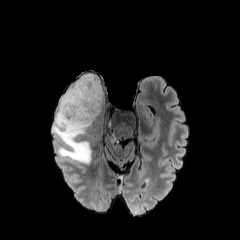
FLAIR MR image.
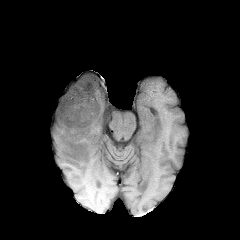
T1-weighted MR image.
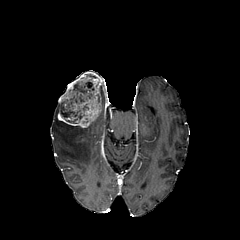
Post-contrast T1-weighted magnetic resonance.
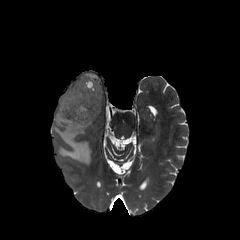
T2-weighted magnetic resonance.
Image size 240x240
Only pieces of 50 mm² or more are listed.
The largest necrotic tumor core region is bounded by [61, 81, 94, 118]. The largest peritumoral edema region is at [53, 103, 91, 164]. The largest enhancing tumor region is bounded by [57, 72, 101, 127].